Brain, Axial plane, Image width 240 mm, 1.00 mm slice spacing, 240x240, Slice 46 of 155
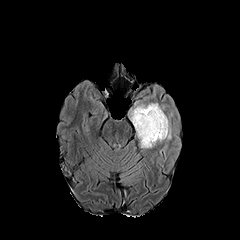
FLAIR MR.
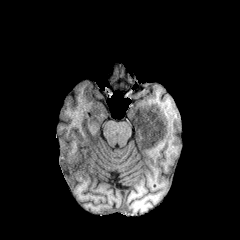
T1-weighted magnetic resonance of the same slice.
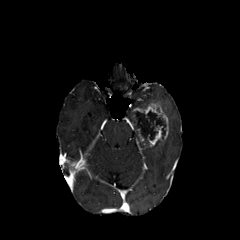
Post-contrast T1-weighted MR.
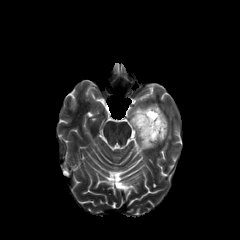
T2-weighted MR image.
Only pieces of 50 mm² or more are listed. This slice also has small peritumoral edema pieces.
The 2 largest enhancing tumor regions are located at box(142, 125, 162, 147); box(133, 103, 168, 138). The largest necrotic tumor core region is located at box(133, 110, 166, 145).